Axial view | Image size 240x240 | Head
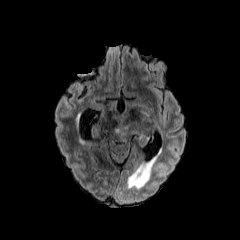
FLAIR magnetic resonance.
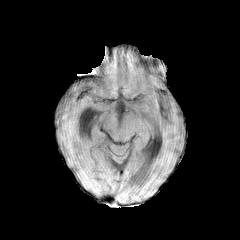
T1-weighted MR image.
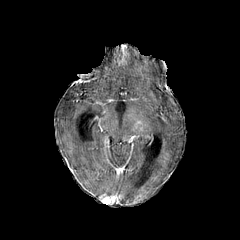
Post-contrast T1-weighted MR image.
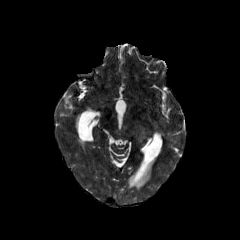
T2-weighted MR image.
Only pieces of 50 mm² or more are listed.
enhancing tumor: x1=134 y1=121 x2=147 y2=130
peritumoral edema: x1=117 y1=119 x2=145 y2=137